FLAIR magnetic resonance.
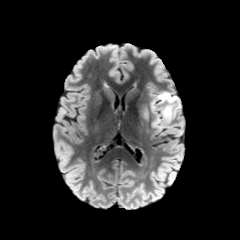
T1-weighted MR image.
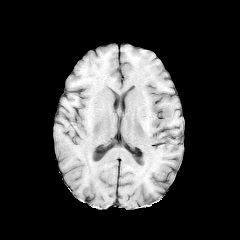
Post-contrast T1-weighted MR image.
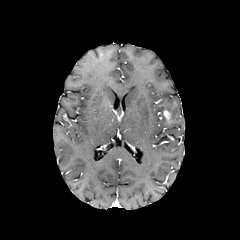
T2-weighted magnetic resonance.
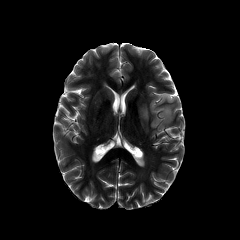
Head
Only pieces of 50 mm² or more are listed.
enhancing tumor = (163, 110, 170, 122)
peritumoral edema = (150, 92, 180, 130)